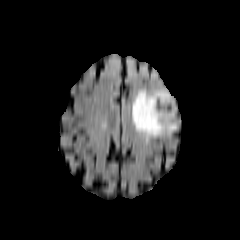
FLAIR magnetic resonance.
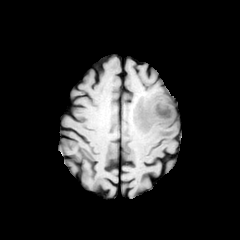
T1-weighted magnetic resonance.
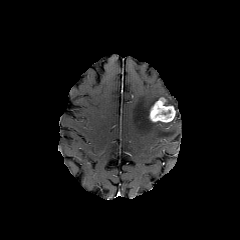
Post-contrast T1-weighted MR.
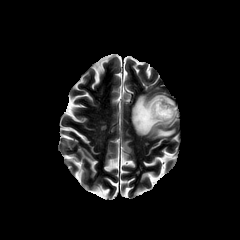
T2-weighted MRI of the same slice.
Annotated regions:
* peritumoral edema: (x1=132, y1=90, x2=176, y2=138)
* enhancing tumor: (x1=149, y1=97, x2=176, y2=122)
* necrotic tumor core: (x1=155, y1=109, x2=171, y2=118)